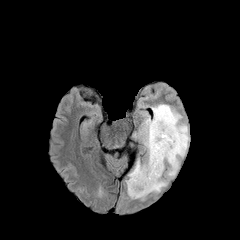
FLAIR MRI.
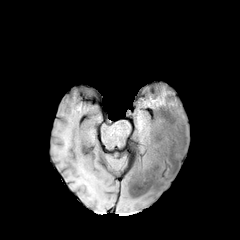
Same slice, T1-weighted magnetic resonance.
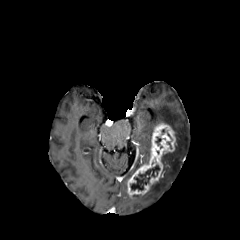
Post-contrast T1-weighted MRI of the same slice.
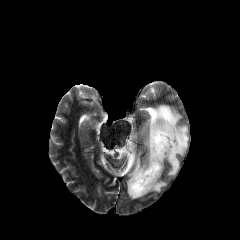
Same slice, T2-weighted MRI.
Head
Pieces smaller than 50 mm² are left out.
Findings:
* peritumoral edema: <bbox>130, 104, 189, 200</bbox>, <bbox>128, 159, 143, 178</bbox>
* necrotic tumor core: <bbox>131, 165, 159, 190</bbox>
* enhancing tumor: <bbox>127, 122, 176, 197</bbox>